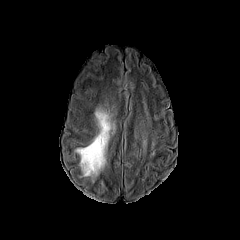
FLAIR MR.
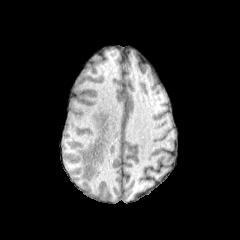
T1-weighted MR of the same slice.
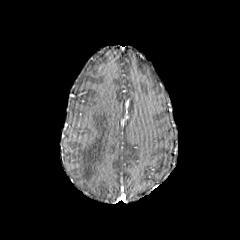
Post-contrast T1-weighted MRI.
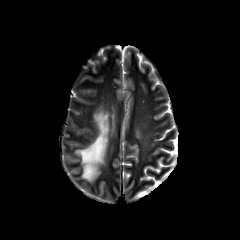
T2-weighted MR.
Brain.
Annotated regions:
• peritumoral edema: rect(75, 108, 114, 178)